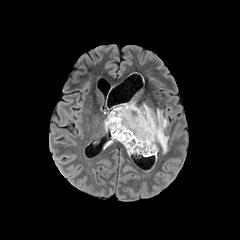
FLAIR MRI.
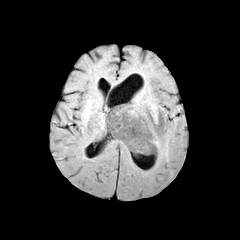
T1-weighted MR image.
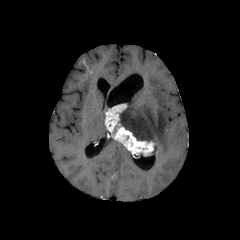
Same slice, post-contrast T1-weighted MR.
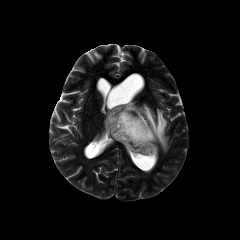
Same slice, T2-weighted MRI.
240x240, Head
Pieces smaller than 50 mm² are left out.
peritumoral edema at 104, 138, 115, 148; 119, 100, 168, 156
enhancing tumor at 105, 103, 154, 156